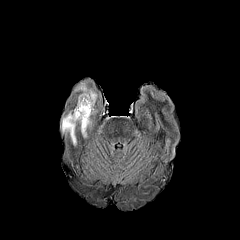
FLAIR MR image.
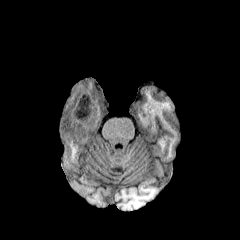
T1-weighted MR of the same slice.
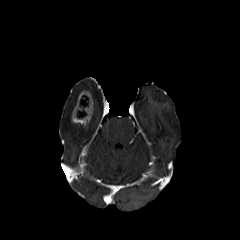
Same slice, post-contrast T1-weighted MRI.
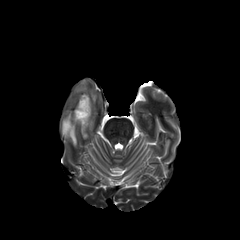
Same slice, T2-weighted MR.
Axial view. Head.
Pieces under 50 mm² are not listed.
<segmentation>
  <enhancing_tumor>71,90,93,126</enhancing_tumor>
  <necrotic_tumor_core>77,95,88,118</necrotic_tumor_core>
  <peritumoral_edema>80,119,92,137; 73,80,97,106; 61,111,76,145</peritumoral_edema>
</segmentation>